FLAIR MRI.
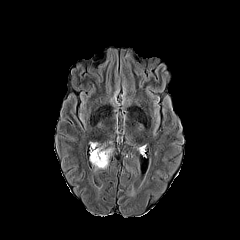
T1-weighted MR.
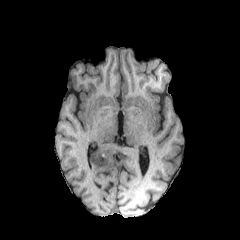
Post-contrast T1-weighted magnetic resonance.
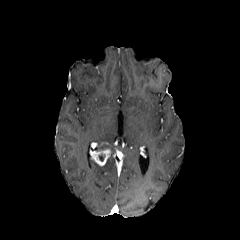
T2-weighted MR image.
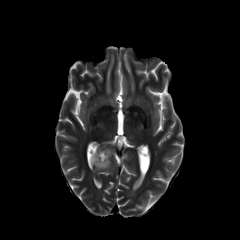
Head
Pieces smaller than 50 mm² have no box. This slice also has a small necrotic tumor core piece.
enhancing tumor: (91, 149, 111, 166) | peritumoral edema: (91, 158, 108, 170)